Image size 240x240, Brain, Axial view
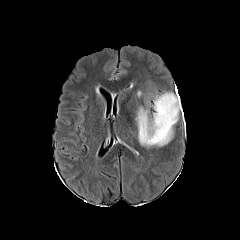
FLAIR MRI.
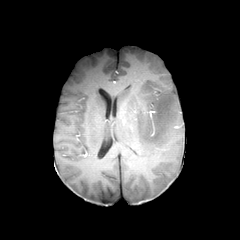
T1-weighted MR.
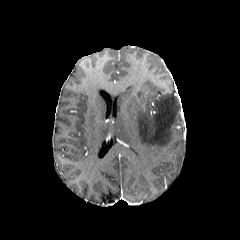
Post-contrast T1-weighted MRI.
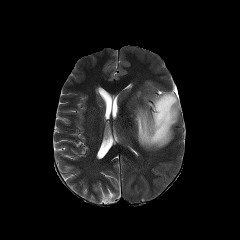
T2-weighted magnetic resonance.
{"peritumoral_edema": ["[x1=136, y1=92, x2=180, y2=147]"]}